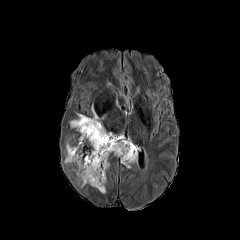
FLAIR MR.
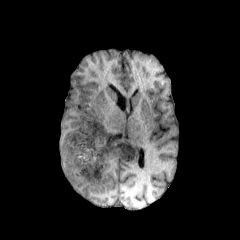
Same slice, T1-weighted MR.
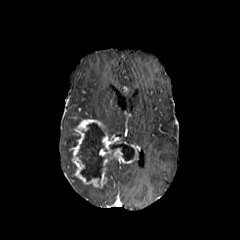
Post-contrast T1-weighted MR of the same slice.
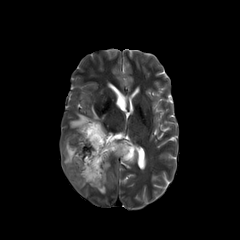
T2-weighted MR.
Head.
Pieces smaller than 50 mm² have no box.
enhancing tumor: bounding box x1=69 y1=119 x2=138 y2=188
peritumoral edema: bounding box x1=64 y1=143 x2=71 y2=163, x1=91 y1=106 x2=99 y2=120, x1=70 y1=113 x2=90 y2=127
necrotic tumor core: bounding box x1=77 y1=123 x2=105 y2=181, x1=110 y1=143 x2=134 y2=160